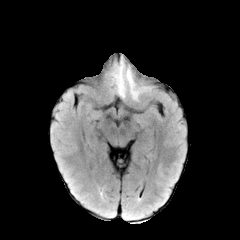
FLAIR MRI.
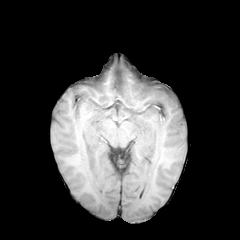
T1-weighted MR image.
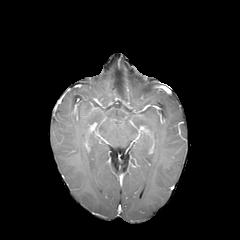
Post-contrast T1-weighted MR image.
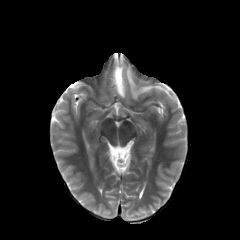
T2-weighted magnetic resonance of the same slice.
2 peritumoral edema regions are located at [126, 69, 148, 99], [113, 63, 125, 97].